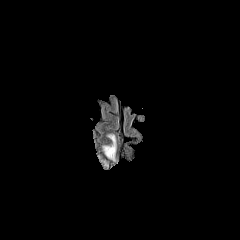
FLAIR magnetic resonance.
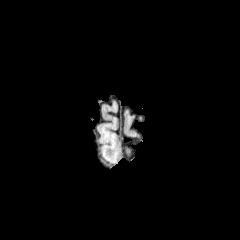
T1-weighted MR.
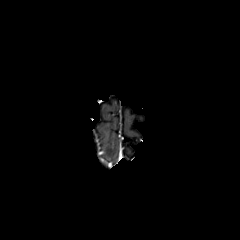
Post-contrast T1-weighted MR image of the same slice.
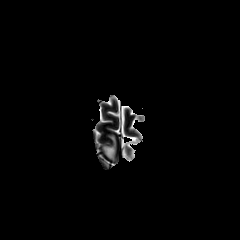
T2-weighted MR.
240x240 px.
The peritumoral edema is bounded by [x1=103, y1=135, x2=115, y2=160].